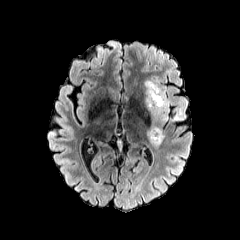
FLAIR MRI.
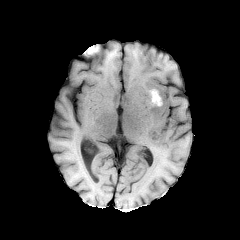
T1-weighted MRI.
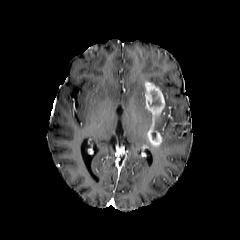
Post-contrast T1-weighted MR image of the same slice.
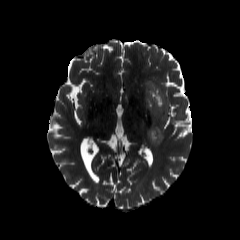
T2-weighted MR.
Brain
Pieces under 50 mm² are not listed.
<segmentation>
  <peritumoral_edema>(147, 77, 186, 131)</peritumoral_edema>
  <necrotic_tumor_core>(150, 90, 160, 106)</necrotic_tumor_core>
  <enhancing_tumor>(145, 81, 166, 146)</enhancing_tumor>
</segmentation>